FLAIR MR.
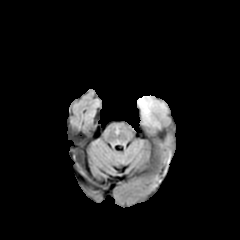
T1-weighted magnetic resonance.
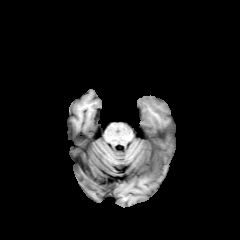
Post-contrast T1-weighted MRI.
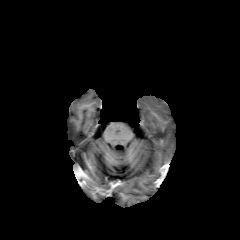
T2-weighted MR.
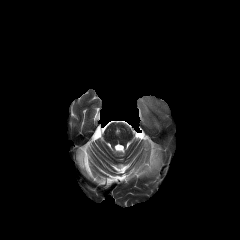
The peritumoral edema lies within x1=137 y1=95 x2=166 y2=124.